FLAIR MR image.
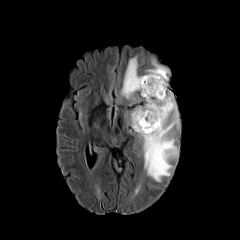
T1-weighted MRI.
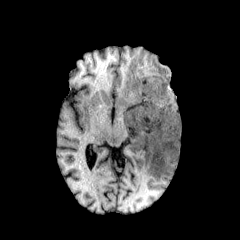
Post-contrast T1-weighted MRI.
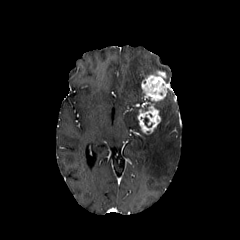
T2-weighted MR.
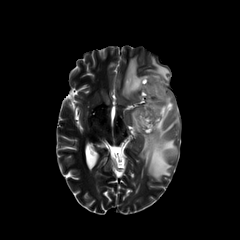
Head | 240x240 px | Axial slice
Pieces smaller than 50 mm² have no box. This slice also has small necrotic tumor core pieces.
2 enhancing tumor regions appear at x1=137, y1=105, x2=161, y2=134; x1=141, y1=70, x2=168, y2=102. The 2 largest peritumoral edema regions are located at x1=130, y1=90, x2=179, y2=181; x1=121, y1=56, x2=169, y2=99.